Axial slice | 240x240 | Head
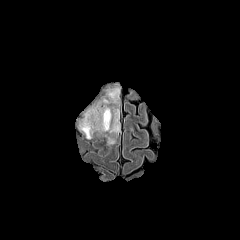
FLAIR MR.
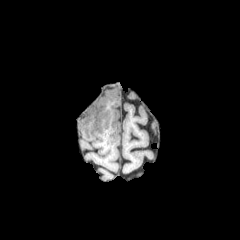
T1-weighted MR image of the same slice.
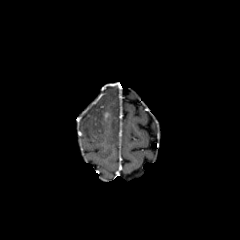
Post-contrast T1-weighted MR of the same slice.
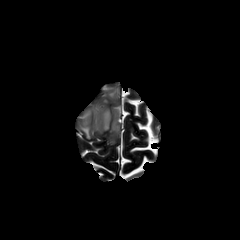
T2-weighted MR of the same slice.
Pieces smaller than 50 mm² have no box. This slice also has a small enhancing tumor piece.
<segmentation>
  <peritumoral_edema>box(107, 137, 115, 144); box(79, 86, 120, 138)</peritumoral_edema>
</segmentation>